FLAIR magnetic resonance.
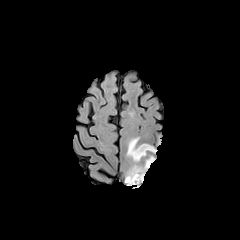
T1-weighted MR.
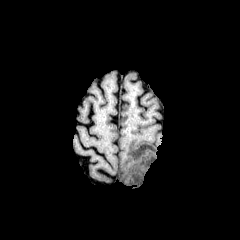
Post-contrast T1-weighted MRI.
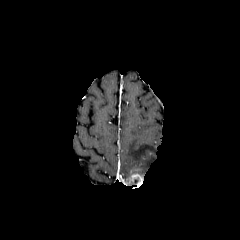
T2-weighted magnetic resonance.
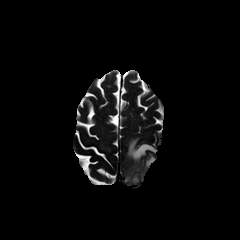
Head, 240x240 px, Axial plane
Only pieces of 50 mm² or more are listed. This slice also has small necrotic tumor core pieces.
enhancing tumor — 127 169 143 187
peritumoral edema — 127 137 157 175